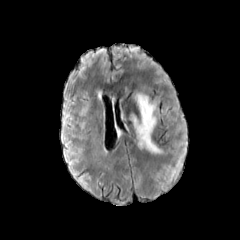
FLAIR MRI.
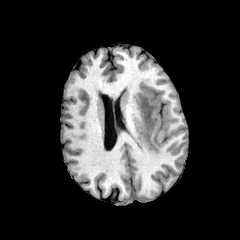
T1-weighted magnetic resonance.
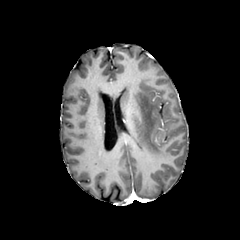
Post-contrast T1-weighted MRI.
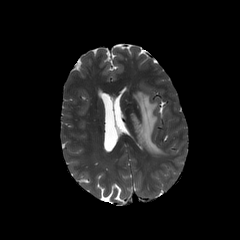
T2-weighted MR.
240x240. Brain.
The peritumoral edema is bounded by [x1=132, y1=92, x2=163, y2=154].